Slice 68 of 155. Image width 240 mm. Axial plane. Brain.
FLAIR MR image.
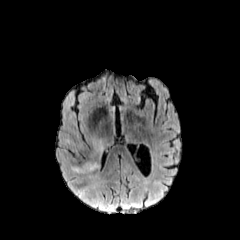
T1-weighted MRI.
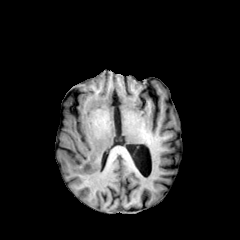
Post-contrast T1-weighted MRI.
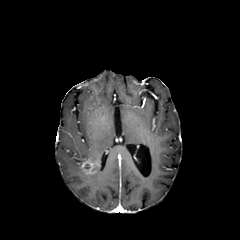
T2-weighted MR image.
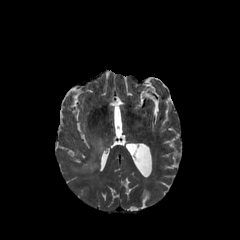
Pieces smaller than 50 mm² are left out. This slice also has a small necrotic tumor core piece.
<segmentation>
  <enhancing_tumor>box=[81, 158, 98, 173]</enhancing_tumor>
  <peritumoral_edema>box=[92, 139, 104, 154]; box=[72, 166, 84, 173]</peritumoral_edema>
</segmentation>